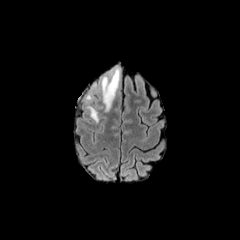
FLAIR MR.
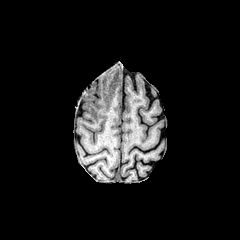
Same slice, T1-weighted MR image.
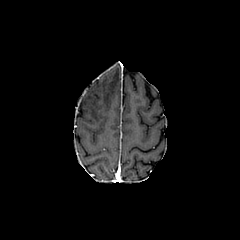
Post-contrast T1-weighted magnetic resonance of the same slice.
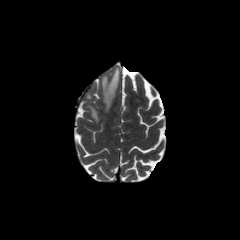
Same slice, T2-weighted magnetic resonance.
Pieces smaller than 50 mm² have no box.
Annotated regions:
- peritumoral edema: x1=101 y1=67 x2=119 y2=111, x1=87 y1=106 x2=99 y2=122